FLAIR MRI.
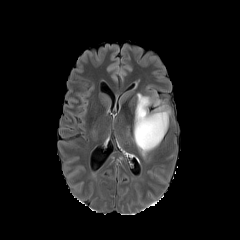
T1-weighted MRI.
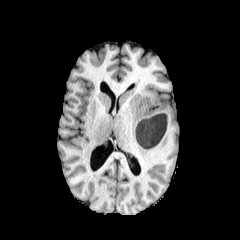
Post-contrast T1-weighted MR image.
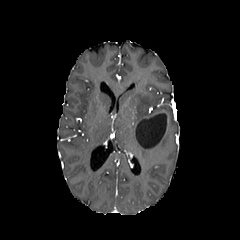
T2-weighted MR image.
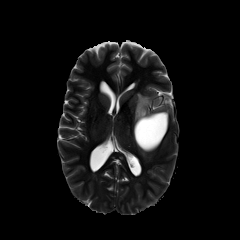
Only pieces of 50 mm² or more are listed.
<segmentation>
  <peritumoral_edema>x1=134 y1=93 x2=169 y2=156</peritumoral_edema>
</segmentation>